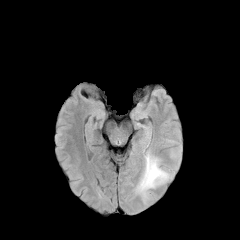
FLAIR MR image.
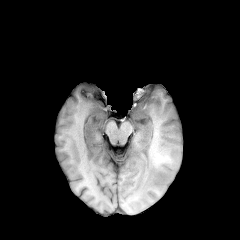
T1-weighted magnetic resonance.
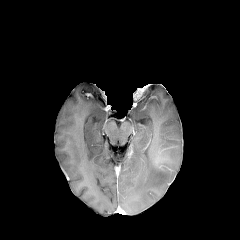
Post-contrast T1-weighted MR of the same slice.
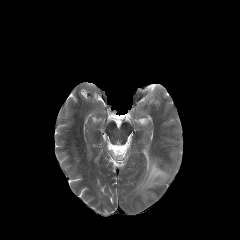
T2-weighted MRI.
Brain | Axial plane | 240x240
The peritumoral edema lies within (137, 148, 180, 196).